Axial slice. Head. Slice 38/155.
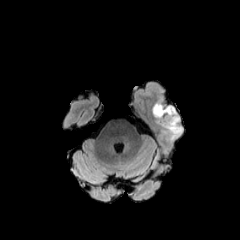
FLAIR MR image.
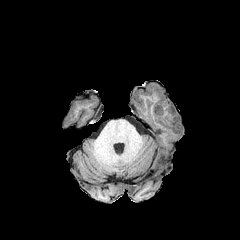
T1-weighted magnetic resonance.
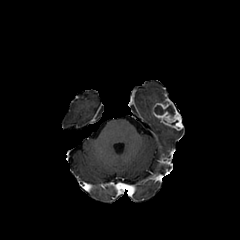
Same slice, post-contrast T1-weighted MR image.
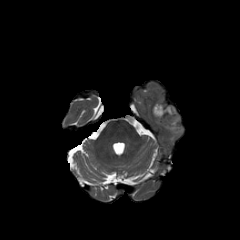
T2-weighted magnetic resonance.
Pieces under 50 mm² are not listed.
necrotic tumor core: bounding box left=155, top=105, right=174, bottom=115
peritumoral edema: bounding box left=160, top=123, right=183, bottom=140
enhancing tumor: bounding box left=152, top=99, right=183, bottom=130